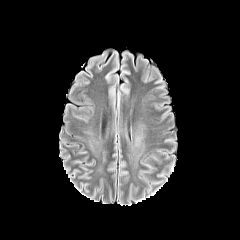
FLAIR MR image.
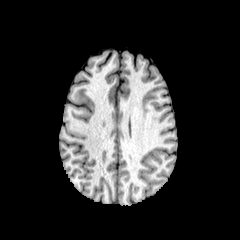
T1-weighted magnetic resonance.
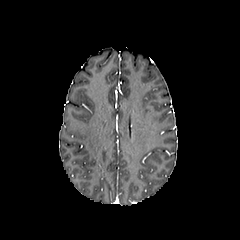
Same slice, post-contrast T1-weighted magnetic resonance.
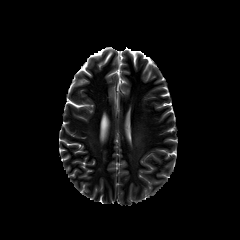
T2-weighted magnetic resonance.
Axial view, Head
The peritumoral edema is located at 136,136,142,146.